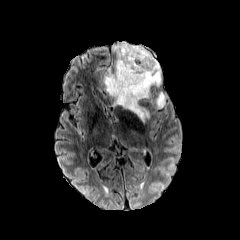
FLAIR magnetic resonance.
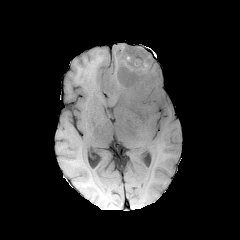
Same slice, T1-weighted magnetic resonance.
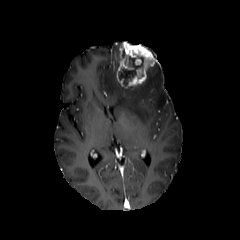
Post-contrast T1-weighted MR image of the same slice.
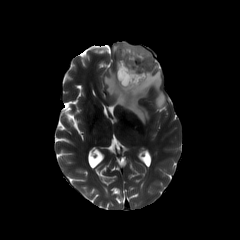
T2-weighted MR.
240x240
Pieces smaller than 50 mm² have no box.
* enhancing tumor: (116,41,157,88)
* peritumoral edema: (104,41,165,121)
* necrotic tumor core: (119,56,143,85)